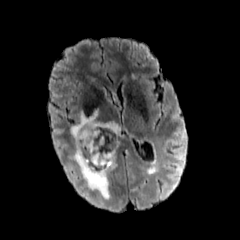
FLAIR MRI.
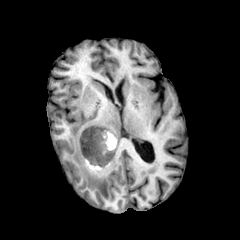
T1-weighted MRI.
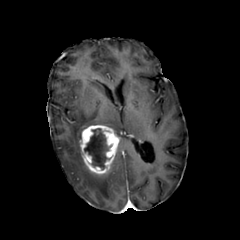
Post-contrast T1-weighted MR image of the same slice.
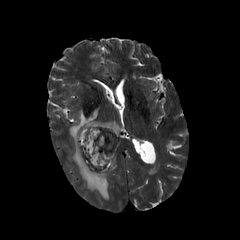
T2-weighted MR.
Axial slice. Brain.
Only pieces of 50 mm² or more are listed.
The largest peritumoral edema region is located at 70,110,120,199. The necrotic tumor core lies within 84,128,112,169. The largest enhancing tumor region is located at 79,125,119,174.